Axial plane
FLAIR magnetic resonance.
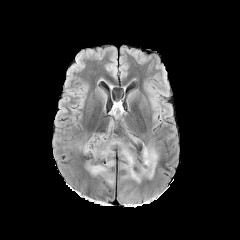
T1-weighted MRI.
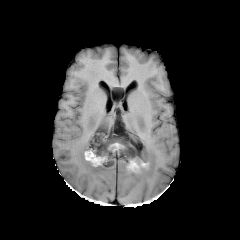
Post-contrast T1-weighted magnetic resonance.
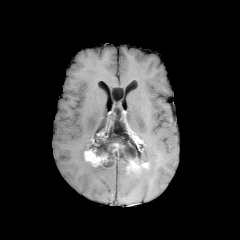
T2-weighted MR.
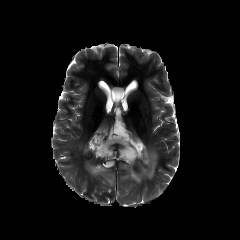
{"enhancing_tumor": ["box=[127, 160, 148, 172]", "box=[84, 149, 107, 166]"], "necrotic_tumor_core": ["box=[89, 144, 104, 155]"], "peritumoral_edema": ["box=[79, 140, 90, 152]", "box=[86, 137, 158, 185]"]}